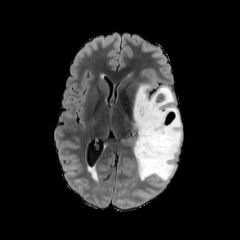
FLAIR magnetic resonance.
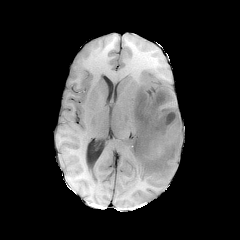
Same slice, T1-weighted magnetic resonance.
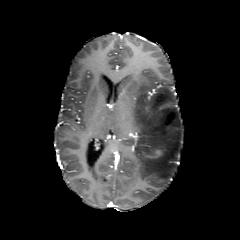
Post-contrast T1-weighted MRI of the same slice.
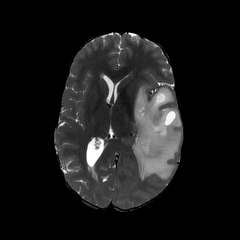
T2-weighted magnetic resonance.
Head
peritumoral edema: (133,84,182,180) | enhancing tumor: (143,149,162,158)